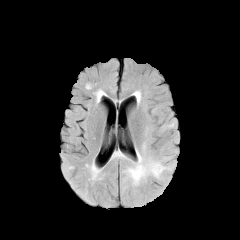
FLAIR magnetic resonance.
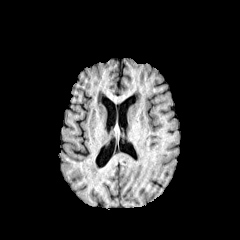
Same slice, T1-weighted MR image.
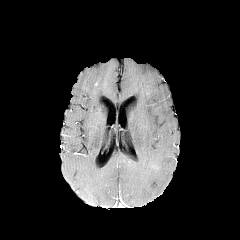
Same slice, post-contrast T1-weighted MR.
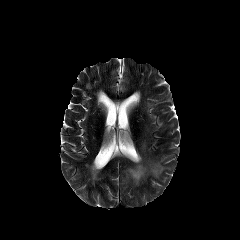
T2-weighted MR image.
240x240 px, Brain
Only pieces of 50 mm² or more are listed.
The largest peritumoral edema region is bounded by rect(124, 151, 169, 185).